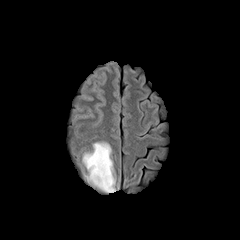
FLAIR MR.
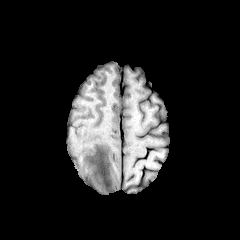
Same slice, T1-weighted magnetic resonance.
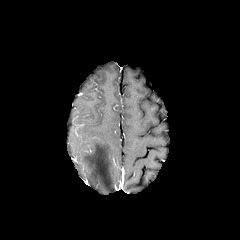
Post-contrast T1-weighted MR.
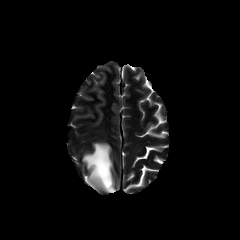
T2-weighted magnetic resonance.
Axial plane | Head
<segmentation>
  <peritumoral_edema>rect(82, 142, 115, 192)</peritumoral_edema>
</segmentation>